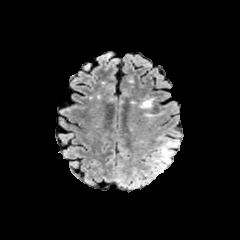
FLAIR MR.
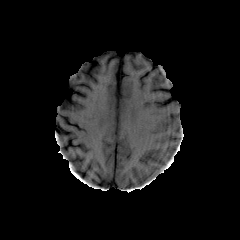
T1-weighted MR.
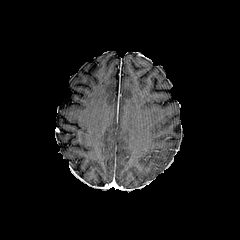
Post-contrast T1-weighted magnetic resonance of the same slice.
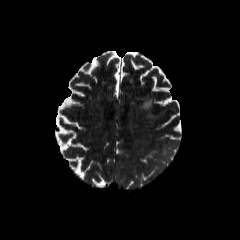
Same slice, T2-weighted magnetic resonance.
Head. Axial slice.
peritumoral edema: [x1=162, y1=142, x2=171, y2=161]